Slice 77/155; Image size 240x240
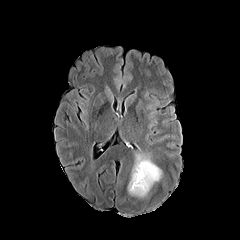
FLAIR magnetic resonance.
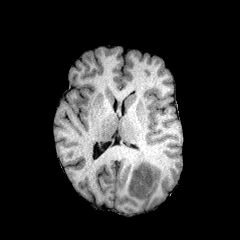
T1-weighted MR.
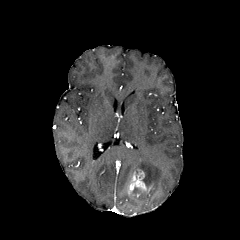
Post-contrast T1-weighted MRI.
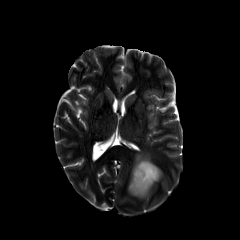
T2-weighted MR.
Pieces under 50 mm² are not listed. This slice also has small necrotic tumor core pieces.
The enhancing tumor is located at x1=128, y1=169, x2=149, y2=196. The largest peritumoral edema region is located at x1=132, y1=154, x2=162, y2=188.